FLAIR MR.
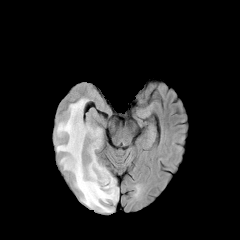
T1-weighted MR image.
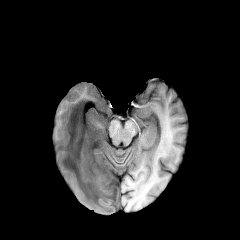
Post-contrast T1-weighted magnetic resonance.
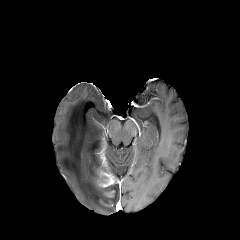
T2-weighted MR image.
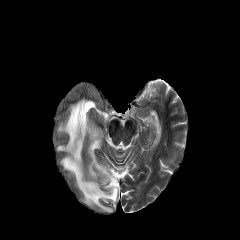
Axial view
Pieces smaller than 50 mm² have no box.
The peritumoral edema appears at box=[56, 98, 118, 212]. The largest enhancing tumor region is bounded by box=[97, 149, 118, 187].